Slice index 74, Axial plane
FLAIR MR.
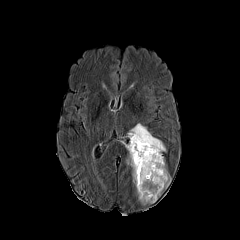
T1-weighted MRI.
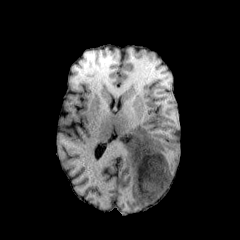
Post-contrast T1-weighted magnetic resonance.
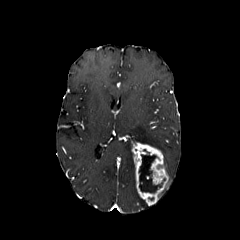
T2-weighted MR.
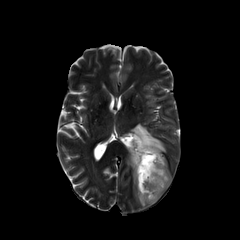
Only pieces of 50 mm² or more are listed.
Findings:
- necrotic tumor core: (left=139, top=154, right=162, bottom=192)
- peritumoral edema: (left=127, top=149, right=135, bottom=184), (left=128, top=123, right=165, bottom=151)
- enhancing tumor: (left=131, top=141, right=170, bottom=205)